FLAIR MRI.
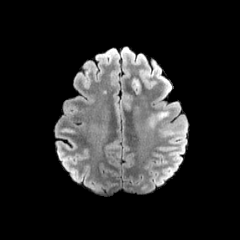
T1-weighted MR image.
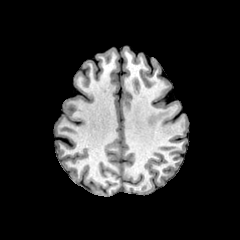
Post-contrast T1-weighted magnetic resonance.
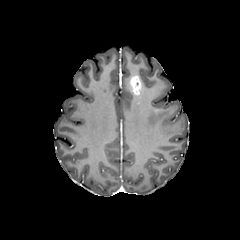
T2-weighted MRI.
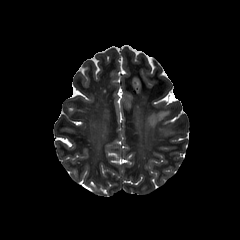
Head.
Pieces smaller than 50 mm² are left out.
{"peritumoral_edema": ["<box>148,111,169,126</box>"], "enhancing_tumor": ["<box>130,76,141,94</box>"]}